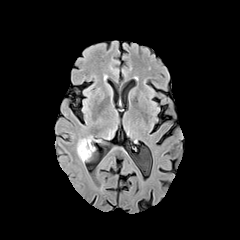
FLAIR magnetic resonance.
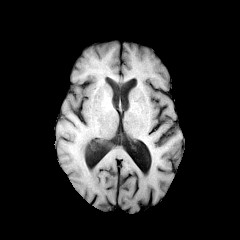
Same slice, T1-weighted MR image.
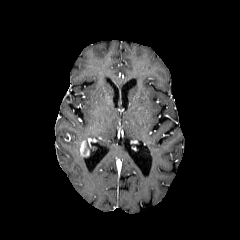
Post-contrast T1-weighted MR.
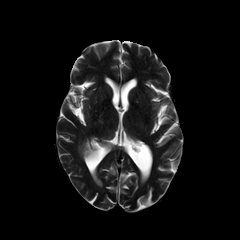
T2-weighted MR.
240x240
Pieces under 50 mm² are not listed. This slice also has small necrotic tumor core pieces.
peritumoral edema at {"x1": 75, "y1": 135, "x2": 100, "y2": 160}
enhancing tumor at {"x1": 80, "y1": 140, "x2": 89, "y2": 157}